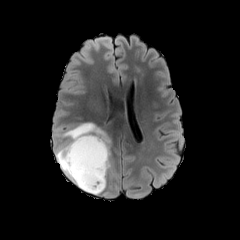
FLAIR MR.
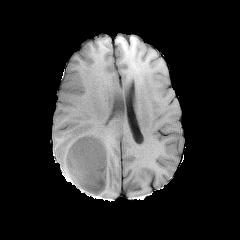
T1-weighted MR image.
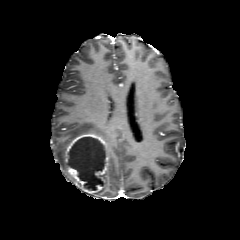
Post-contrast T1-weighted MR image.
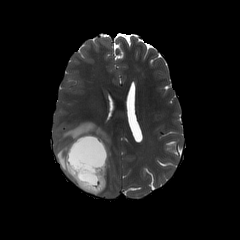
T2-weighted MR.
Head. 240x240.
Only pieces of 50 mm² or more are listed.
peritumoral edema: 60,122,110,169; 55,142,69,171
enhancing tumor: 63,133,108,195
necrotic tumor core: 68,137,105,190